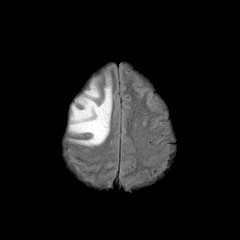
FLAIR magnetic resonance.
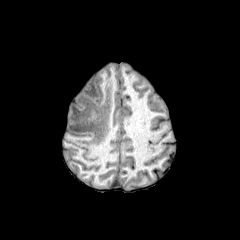
T1-weighted magnetic resonance of the same slice.
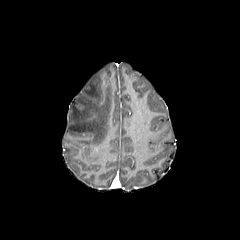
Post-contrast T1-weighted MR.
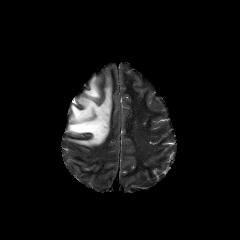
T2-weighted MR.
Brain
The peritumoral edema is located at x1=68, y1=76, x2=112, y2=146.